Axial slice
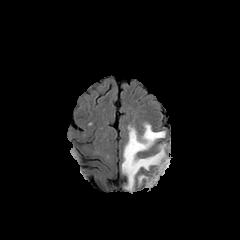
FLAIR MR.
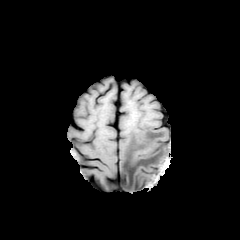
T1-weighted MR image.
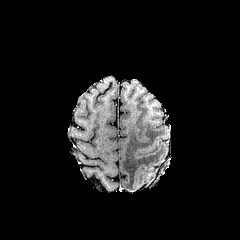
Same slice, post-contrast T1-weighted MR.
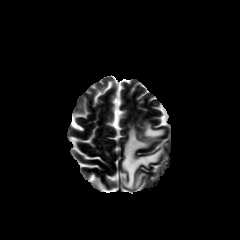
T2-weighted MR image of the same slice.
Findings:
• peritumoral edema: (137,174,146,184), (121,122,167,191)